FLAIR magnetic resonance.
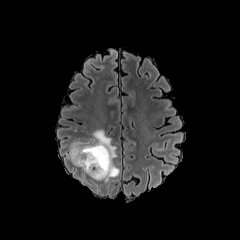
T1-weighted MR image.
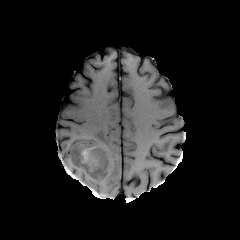
Post-contrast T1-weighted magnetic resonance.
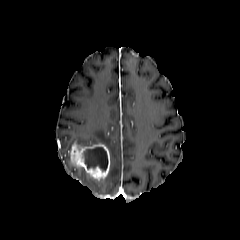
T2-weighted MR image.
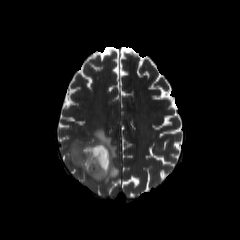
240x240 px; Axial plane
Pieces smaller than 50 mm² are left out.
enhancing tumor = box=[69, 143, 110, 180]
peritumoral edema = box=[69, 129, 119, 182]
necrotic tumor core = box=[83, 147, 107, 170]